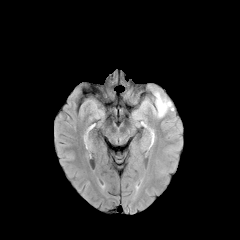
FLAIR MR.
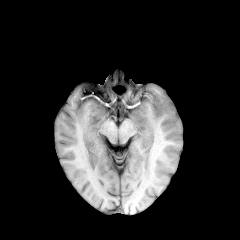
T1-weighted MR image of the same slice.
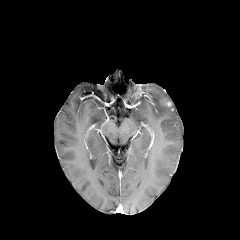
Post-contrast T1-weighted MR image.
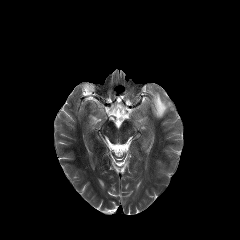
Same slice, T2-weighted MRI.
Brain
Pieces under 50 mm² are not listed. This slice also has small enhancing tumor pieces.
The peritumoral edema is bounded by <bbox>134, 86, 173, 126</bbox>.